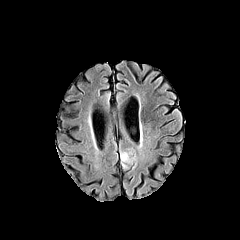
FLAIR MRI.
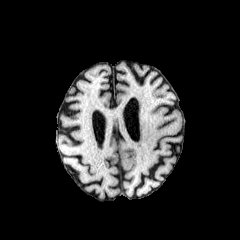
T1-weighted MRI.
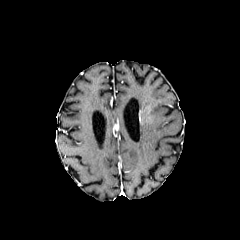
Post-contrast T1-weighted MR image of the same slice.
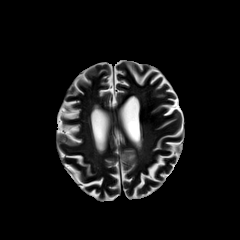
T2-weighted MRI of the same slice.
Head
The peritumoral edema appears at <box>121,151,135,167</box>.